Slice 62 of 155. Brain. Axial slice.
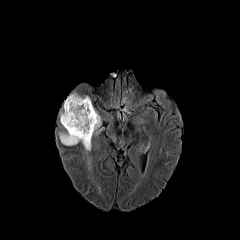
FLAIR MRI.
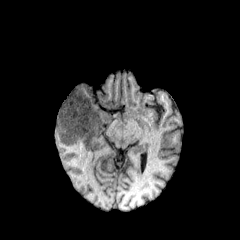
T1-weighted MR image.
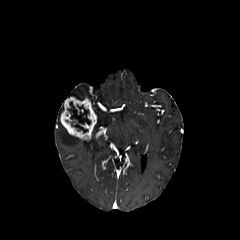
Post-contrast T1-weighted magnetic resonance of the same slice.
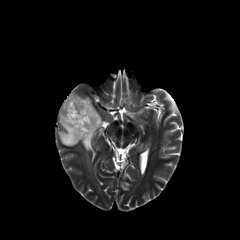
Same slice, T2-weighted MRI.
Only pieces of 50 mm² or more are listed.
{"necrotic_tumor_core": ["67, 102, 90, 133"], "enhancing_tumor": ["60, 96, 96, 140"], "peritumoral_edema": ["67, 93, 89, 99", "92, 109, 101, 136", "58, 129, 91, 168"]}